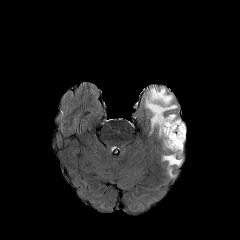
FLAIR magnetic resonance.
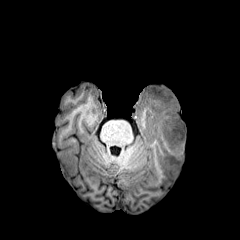
T1-weighted MR image.
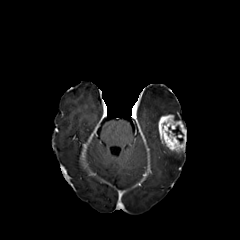
Same slice, post-contrast T1-weighted MR.
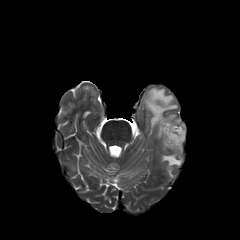
Same slice, T2-weighted MR.
Head
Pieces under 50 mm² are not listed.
The largest necrotic tumor core region is at (x1=172, y1=126, x2=183, y2=135). The enhancing tumor is at (x1=158, y1=114, x2=186, y2=153). The 2 largest peritumoral edema regions appear at (x1=163, y1=153, x2=181, y2=165), (x1=146, y1=88, x2=176, y2=126).